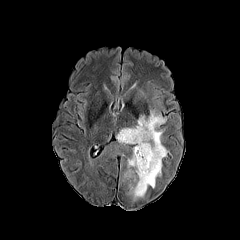
FLAIR MRI.
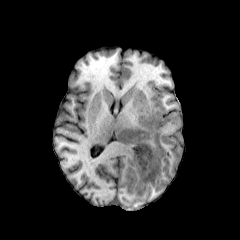
Same slice, T1-weighted MR image.
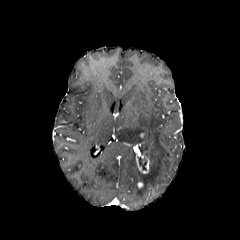
Post-contrast T1-weighted MR image of the same slice.
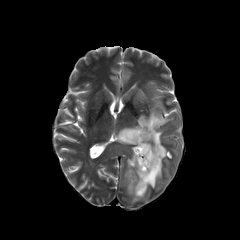
T2-weighted MR of the same slice.
Axial plane, Brain
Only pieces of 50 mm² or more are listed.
peritumoral_edema:
  - bbox(109, 110, 167, 201)
enhancing_tumor:
  - bbox(133, 143, 149, 173)
necrotic_tumor_core:
  - bbox(138, 157, 147, 170)
  - bbox(138, 144, 148, 153)